Image size 240x240
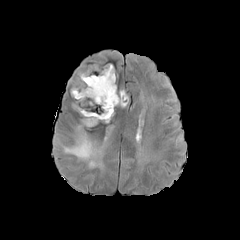
FLAIR magnetic resonance.
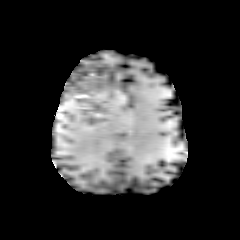
T1-weighted MR of the same slice.
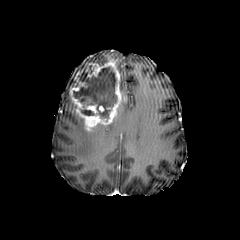
Post-contrast T1-weighted MR of the same slice.
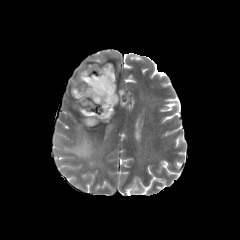
T2-weighted MRI of the same slice.
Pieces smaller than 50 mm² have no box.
necrotic tumor core at [73,66,116,118], [81,110,94,115]
peritumoral edema at [61,120,102,167], [120,90,129,107]
enhancing tumor at [69,63,124,128]